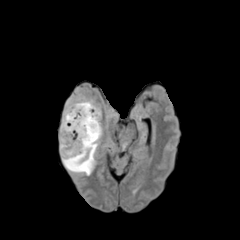
FLAIR MR.
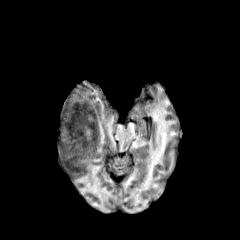
T1-weighted MRI of the same slice.
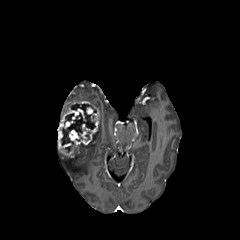
Post-contrast T1-weighted MRI of the same slice.
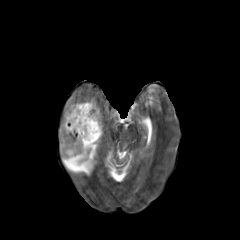
T2-weighted magnetic resonance.
240x240
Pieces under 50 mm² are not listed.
* peritumoral edema: 68 95 95 105, 61 127 101 175
* necrotic tumor core: 65 113 74 121, 62 104 95 145
* enhancing tumor: 58 100 101 157